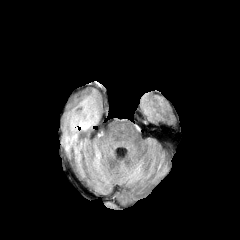
FLAIR magnetic resonance.
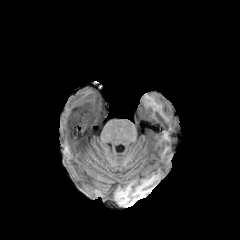
T1-weighted MR of the same slice.
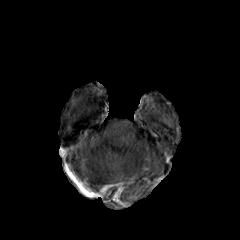
Post-contrast T1-weighted MR of the same slice.
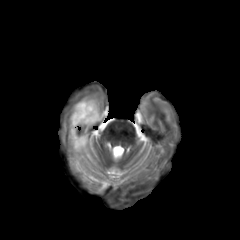
T2-weighted MR of the same slice.
Head. Axial view.
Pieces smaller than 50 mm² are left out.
enhancing tumor = rect(76, 131, 86, 149)
peritumoral edema = rect(63, 90, 100, 149); rect(77, 145, 90, 162)
necrotic tumor core = rect(72, 113, 91, 144)